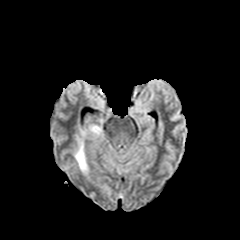
FLAIR MR image.
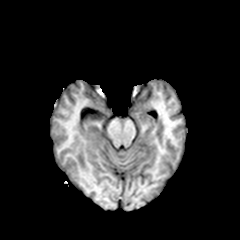
T1-weighted magnetic resonance.
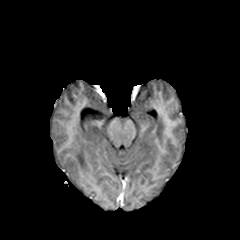
Post-contrast T1-weighted MR image.
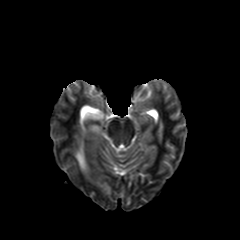
Same slice, T2-weighted MR image.
Head
peritumoral edema = [75, 142, 86, 171], [90, 126, 100, 133]